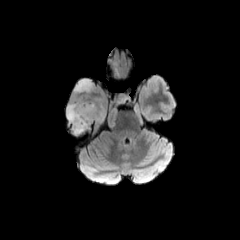
FLAIR magnetic resonance.
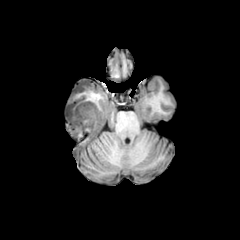
T1-weighted MRI.
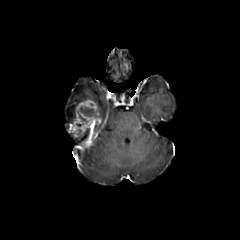
Same slice, post-contrast T1-weighted MRI.
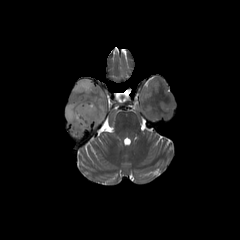
Same slice, T2-weighted magnetic resonance.
Axial plane, 240x240 px
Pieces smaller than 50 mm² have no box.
enhancing tumor = (69,100,101,137)
necrotic tumor core = (80,108,93,115)
peritumoral edema = (74,79,93,93), (66,101,81,123), (98,105,104,120)